Axial slice, Image size 240x240, Head, Slice index 83
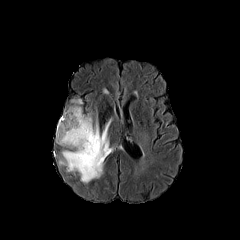
FLAIR MR image.
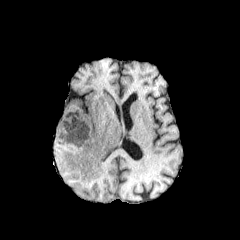
T1-weighted MR image.
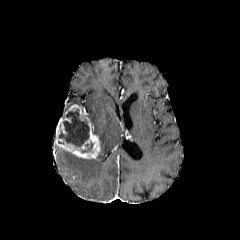
Post-contrast T1-weighted MR of the same slice.
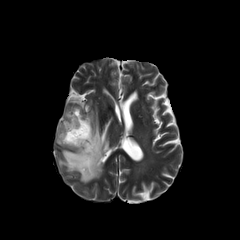
Same slice, T2-weighted MR.
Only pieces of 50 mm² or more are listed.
The enhancing tumor is located at rect(55, 104, 100, 159). The 2 largest necrotic tumor core regions are located at rect(59, 109, 89, 146); rect(81, 142, 93, 152). The 2 largest peritumoral edema regions are located at rect(71, 98, 82, 103); rect(58, 116, 112, 183).